FLAIR MRI.
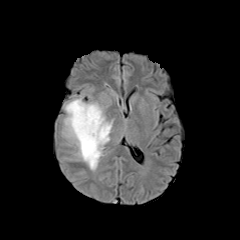
T1-weighted MR.
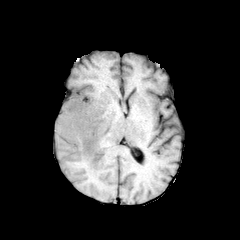
Post-contrast T1-weighted MR.
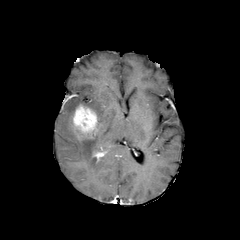
T2-weighted MRI.
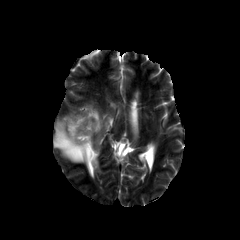
Axial plane
Annotated regions:
* peritumoral edema: l=58, t=96, r=113, b=171
* enhancing tumor: l=70, t=104, r=102, b=139; l=93, t=151, r=101, b=158